FLAIR MR.
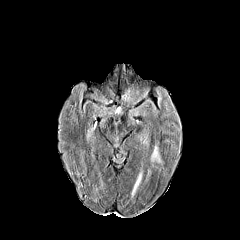
T1-weighted magnetic resonance.
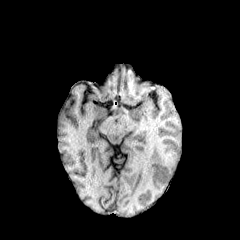
Post-contrast T1-weighted MR.
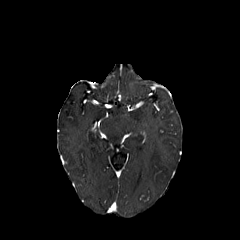
T2-weighted MRI.
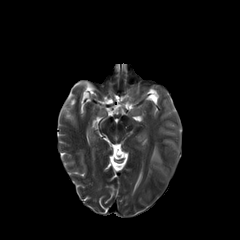
peritumoral_edema:
  - region(151, 146, 160, 162)
  - region(132, 173, 141, 193)